Brain. 240x240 px. Slice 102/155.
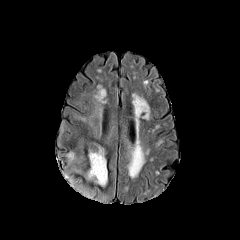
FLAIR MRI.
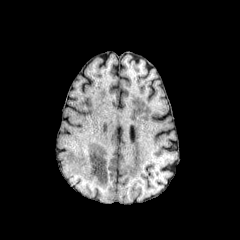
T1-weighted magnetic resonance.
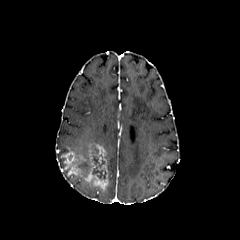
Post-contrast T1-weighted MR of the same slice.
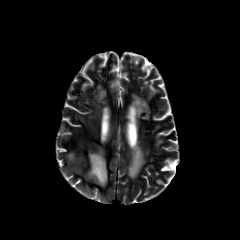
T2-weighted MR.
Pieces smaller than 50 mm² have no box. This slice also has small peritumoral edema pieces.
enhancing tumor: [67,167,82,176], [84,144,107,187], [60,152,86,168] | necrotic tumor core: [92,155,107,179]